FLAIR MR image.
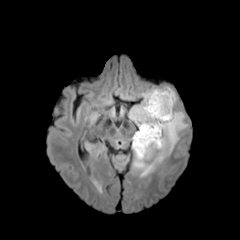
T1-weighted MR.
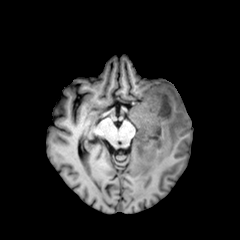
Post-contrast T1-weighted MRI.
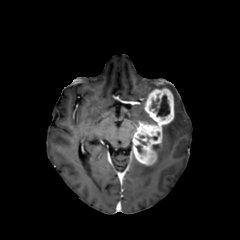
T2-weighted MR.
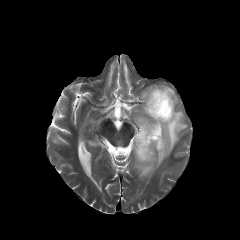
Axial slice
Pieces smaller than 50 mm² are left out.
enhancing tumor = 132:88:174:165
peritumoral edema = 133:110:187:176, 130:86:177:126
necrotic tumor core = 151:95:169:116